240x240 | Slice index 120
FLAIR MR image.
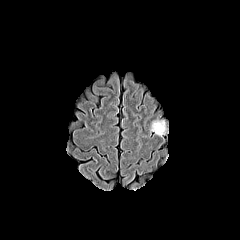
T1-weighted MRI.
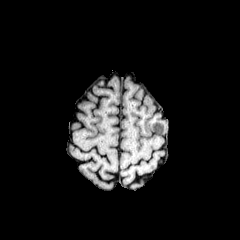
Post-contrast T1-weighted MR image.
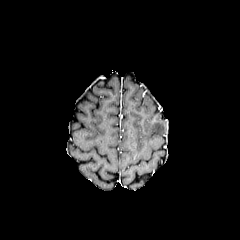
T2-weighted magnetic resonance.
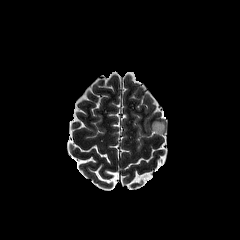
The peritumoral edema is located at box(151, 121, 165, 135).